Head; Image width 240 mm, 1.00 mm slice spacing; Axial view; Slice 53 of 155
FLAIR MR.
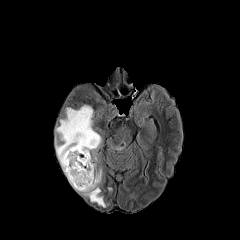
T1-weighted MR.
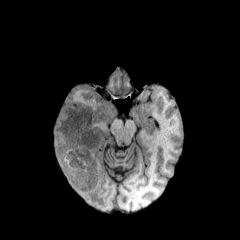
Post-contrast T1-weighted magnetic resonance.
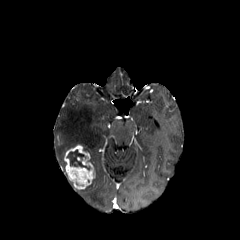
T2-weighted MRI.
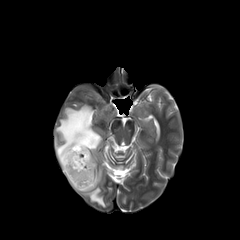
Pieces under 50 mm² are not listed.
{
  "peritumoral_edema": [
    "bbox(78, 169, 105, 207)",
    "bbox(55, 104, 101, 171)"
  ],
  "enhancing_tumor": [
    "bbox(64, 145, 95, 189)"
  ],
  "necrotic_tumor_core": [
    "bbox(66, 149, 90, 169)"
  ]
}